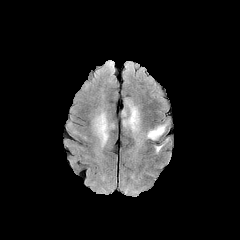
FLAIR MRI.
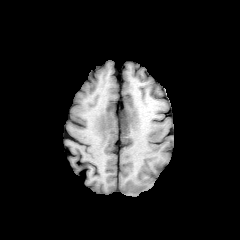
T1-weighted MRI.
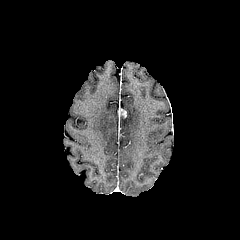
Post-contrast T1-weighted MR.
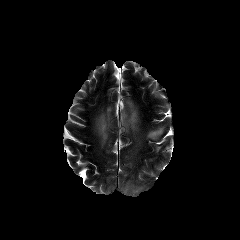
T2-weighted MR of the same slice.
240x240.
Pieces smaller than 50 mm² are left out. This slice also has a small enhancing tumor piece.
peritumoral edema at x1=121 y1=100 x2=139 y2=133, x1=94 y1=111 x2=113 y2=146, x1=147 y1=125 x2=165 y2=139